Axial slice, 240x240 px, Slice index 99, Brain
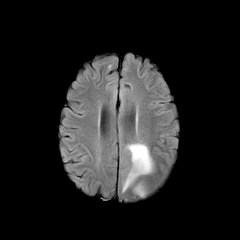
FLAIR MR image.
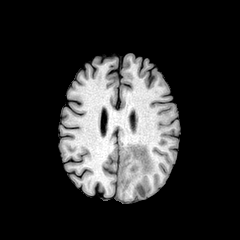
T1-weighted MR image.
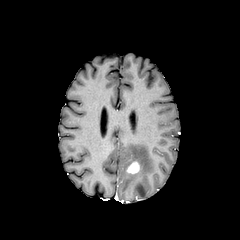
Post-contrast T1-weighted MR.
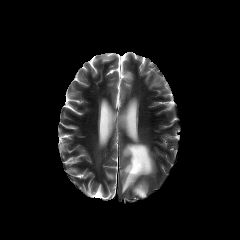
Same slice, T2-weighted MRI.
2 peritumoral edema regions appear at <box>122,143,153,192</box>, <box>134,183,146,196</box>. The enhancing tumor is bounded by <box>126,161,139,173</box>.